FLAIR magnetic resonance.
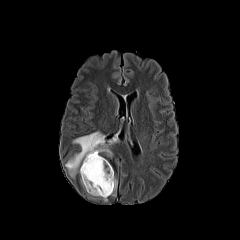
T1-weighted magnetic resonance.
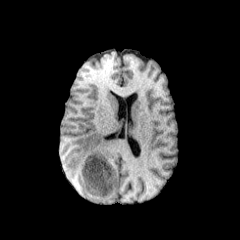
Post-contrast T1-weighted MRI.
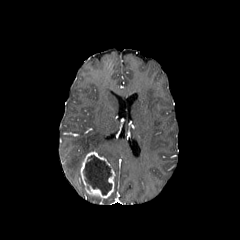
T2-weighted magnetic resonance.
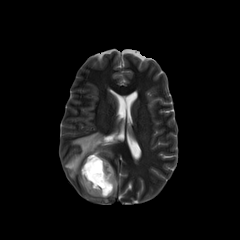
Brain
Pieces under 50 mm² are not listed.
peritumoral edema at box(65, 131, 116, 177)
necrotic tumor core at box(83, 155, 111, 194)
enhancing tumor at box(80, 151, 115, 198)